FLAIR magnetic resonance.
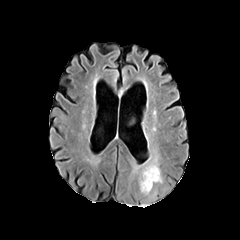
T1-weighted MR.
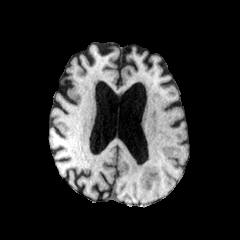
Post-contrast T1-weighted MRI.
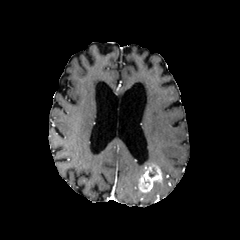
T2-weighted MR image.
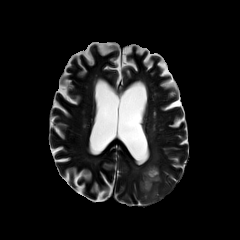
Axial slice
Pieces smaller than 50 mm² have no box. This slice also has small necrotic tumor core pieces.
Annotated regions:
- peritumoral edema: {"x1": 128, "y1": 150, "x2": 160, "y2": 179}
- enhancing tumor: {"x1": 138, "y1": 165, "x2": 162, "y2": 192}